Head, Axial view, Slice 102/155, 240x240 px
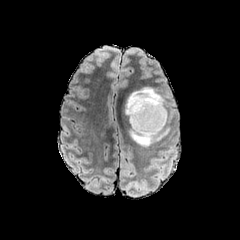
FLAIR MRI.
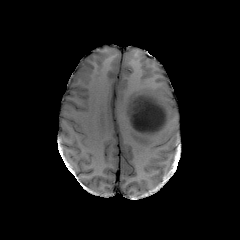
T1-weighted MR image.
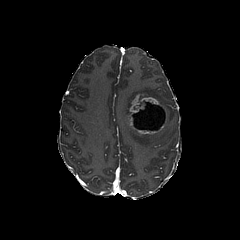
Post-contrast T1-weighted magnetic resonance.
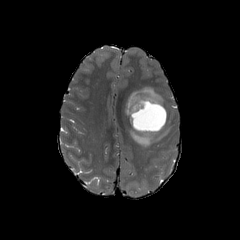
T2-weighted magnetic resonance.
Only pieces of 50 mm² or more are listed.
The largest necrotic tumor core region is located at 132 100 165 130. The 2 largest peritumoral edema regions are located at 125 87 162 115, 130 128 168 146. The enhancing tumor is bounded by 129 94 167 134.